Brain. Slice 70/155. 240x240. Axial slice.
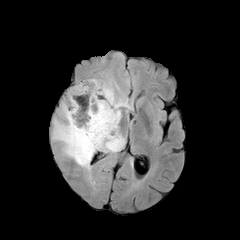
FLAIR MR.
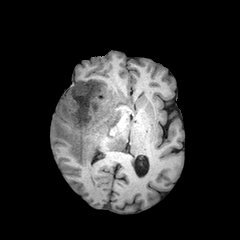
T1-weighted magnetic resonance of the same slice.
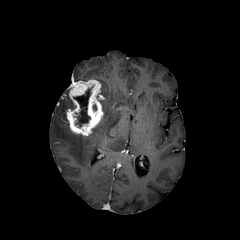
Same slice, post-contrast T1-weighted MR.
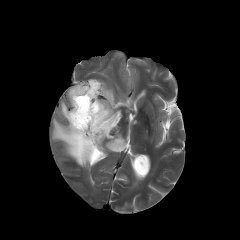
T2-weighted MR.
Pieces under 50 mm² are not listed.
* necrotic tumor core: bbox(74, 89, 90, 127)
* peritumoral edema: bbox(59, 101, 68, 119); bbox(52, 79, 129, 169)
* enhancing tumor: bbox(66, 79, 103, 135)